Slice 114/155
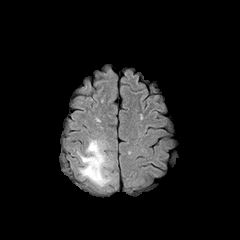
FLAIR MR.
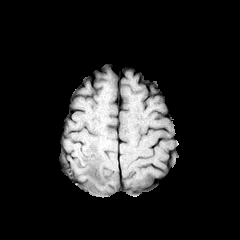
T1-weighted MRI of the same slice.
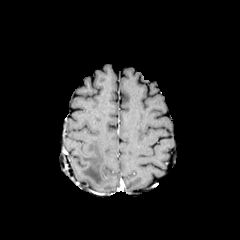
Same slice, post-contrast T1-weighted MR.
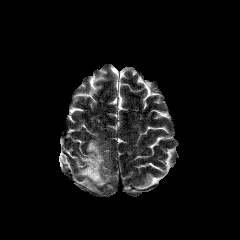
T2-weighted MR.
peritumoral edema: <box>80,140,111,186</box>